FLAIR MR image.
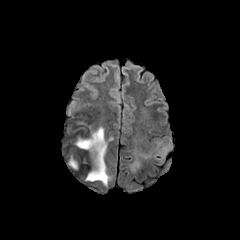
T1-weighted MRI.
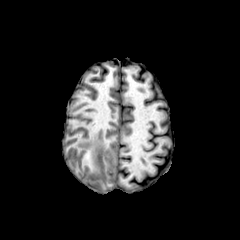
Post-contrast T1-weighted MR image.
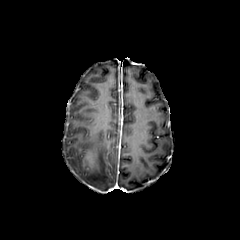
T2-weighted MR image.
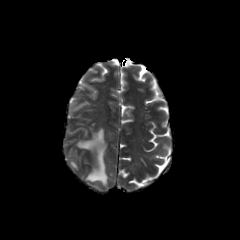
Head
peritumoral edema: [x1=69, y1=159, x2=77, y2=169], [x1=74, y1=127, x2=109, y2=186]